FLAIR MRI.
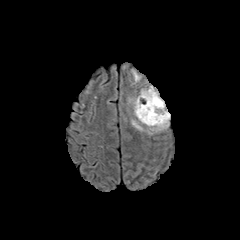
T1-weighted magnetic resonance.
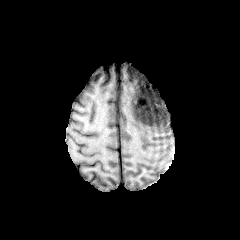
Post-contrast T1-weighted MRI.
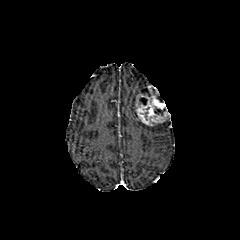
T2-weighted MR image.
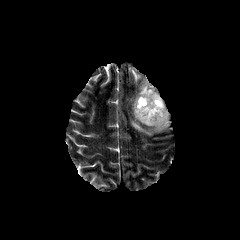
Image size 240x240
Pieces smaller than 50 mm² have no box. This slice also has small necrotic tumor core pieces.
Segmented structures:
• peritumoral edema: x1=148 y1=119 x2=168 y2=131, x1=132 y1=70 x2=140 y2=82, x1=131 y1=120 x2=144 y2=131
• enhancing tumor: x1=134 y1=85 x2=170 y2=126